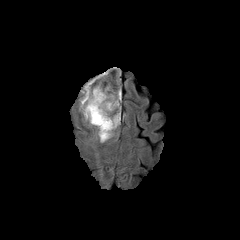
FLAIR MRI.
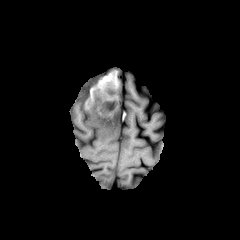
T1-weighted magnetic resonance.
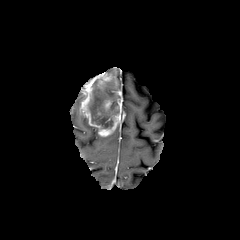
Post-contrast T1-weighted MRI.
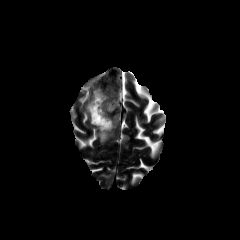
T2-weighted MR of the same slice.
Axial slice. Head.
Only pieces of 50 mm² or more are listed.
peritumoral edema: bounding box x1=96 y1=130 x2=114 y2=142
enhancing tumor: bounding box x1=80 y1=72 x2=121 y2=136, x1=103 y1=100 x2=112 y2=110
necrotic tumor core: bounding box x1=88 y1=78 x2=120 y2=128